FLAIR MR image.
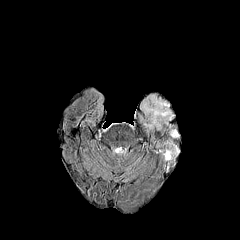
T1-weighted MR.
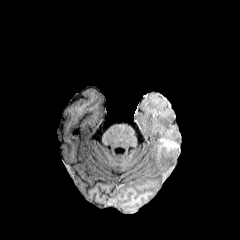
Post-contrast T1-weighted MR image.
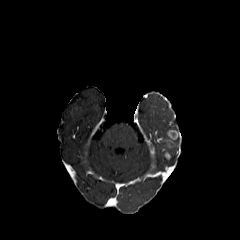
T2-weighted MRI.
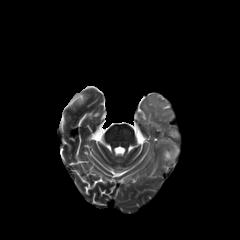
Brain
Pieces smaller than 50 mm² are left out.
enhancing tumor = <box>168,130,178,139</box>
peritumoral edema = <box>148,99,172,119</box>, <box>165,143,178,162</box>